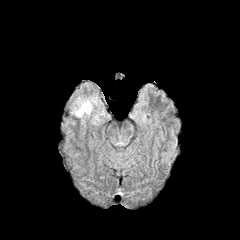
FLAIR MRI.
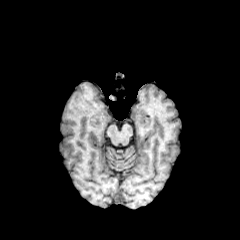
Same slice, T1-weighted MRI.
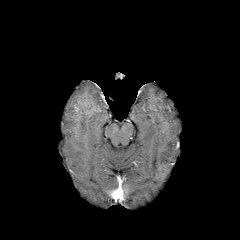
Post-contrast T1-weighted MR image of the same slice.
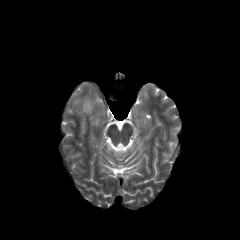
T2-weighted MR image of the same slice.
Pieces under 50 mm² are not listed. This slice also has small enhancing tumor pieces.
The peritumoral edema appears at (71,95,105,125).